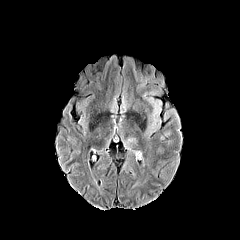
FLAIR MRI.
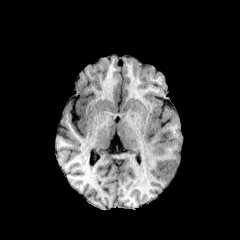
Same slice, T1-weighted MRI.
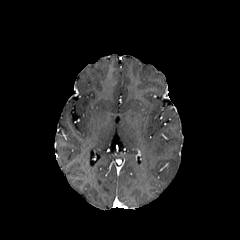
Post-contrast T1-weighted MR image.
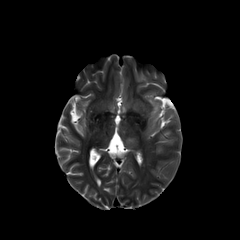
T2-weighted magnetic resonance of the same slice.
Brain
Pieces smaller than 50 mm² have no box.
peritumoral_edema:
  - 124,138,137,149
  - 155,145,165,154